Axial slice, Brain, Slice 90 of 155
FLAIR magnetic resonance.
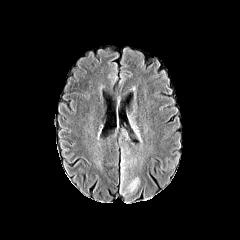
T1-weighted magnetic resonance.
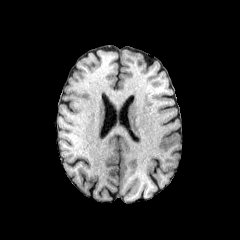
Post-contrast T1-weighted MR image.
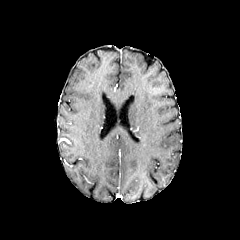
T2-weighted MR.
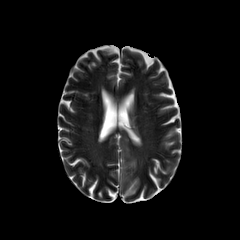
{"peritumoral_edema": ["(127, 176, 140, 194)", "(121, 157, 125, 174)"]}